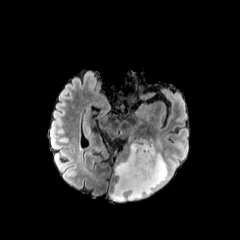
FLAIR MR image.
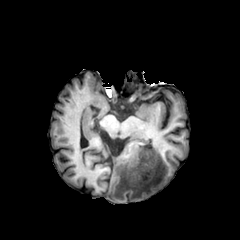
T1-weighted MRI.
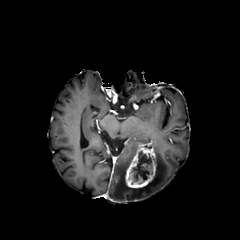
Same slice, post-contrast T1-weighted MRI.
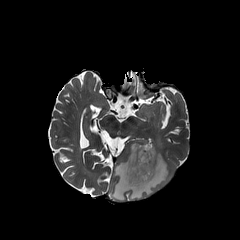
T2-weighted MR.
Brain
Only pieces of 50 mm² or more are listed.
enhancing_tumor:
  - (125, 143, 156, 188)
necrotic_tumor_core:
  - (130, 151, 152, 184)
peritumoral_edema:
  - (110, 138, 168, 201)